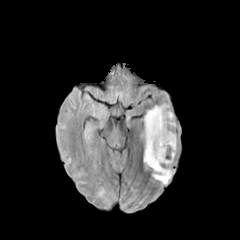
FLAIR MR.
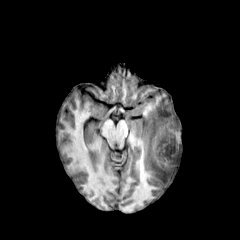
Same slice, T1-weighted magnetic resonance.
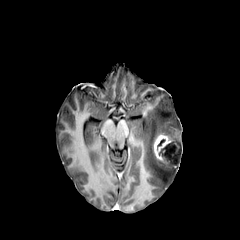
Post-contrast T1-weighted magnetic resonance of the same slice.
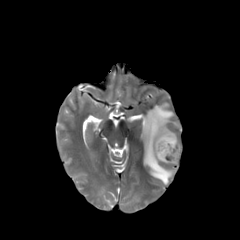
Same slice, T2-weighted MR image.
240x240
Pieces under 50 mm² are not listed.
peritumoral edema at bbox=[141, 105, 180, 185]
necrotic tumor core at bbox=[159, 141, 181, 165]
enhancing tumor at bbox=[153, 134, 178, 169]